FLAIR magnetic resonance.
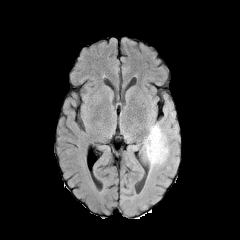
T1-weighted magnetic resonance.
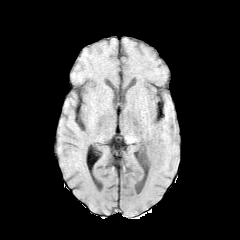
Post-contrast T1-weighted magnetic resonance.
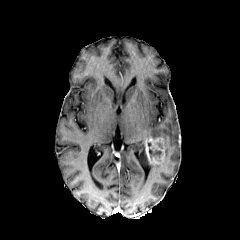
T2-weighted MR.
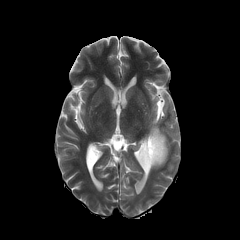
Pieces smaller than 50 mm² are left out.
The largest necrotic tumor core region appears at 149 149 161 156. The enhancing tumor appears at 144 136 166 164. The largest peritumoral edema region lies within 142 124 169 171.